FLAIR MR image.
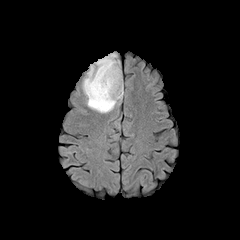
T1-weighted MR.
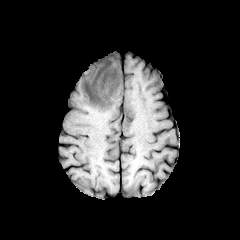
Post-contrast T1-weighted MRI.
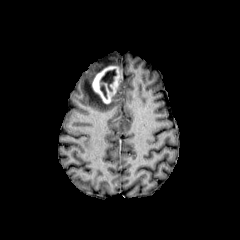
T2-weighted MRI.
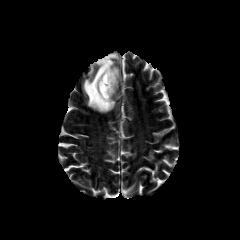
Axial slice | Brain
peritumoral edema: bounding box left=82, top=53, right=123, bottom=113
necrotic tumor core: bounding box left=100, top=85, right=107, bottom=98; left=100, top=69, right=116, bottom=91
enhancing tumor: bounding box left=92, top=66, right=121, bottom=103